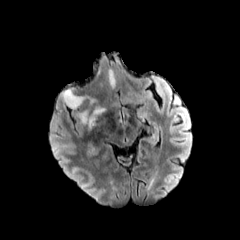
FLAIR MR.
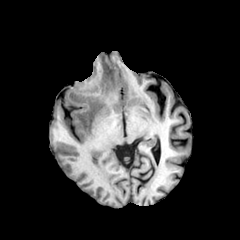
T1-weighted MRI of the same slice.
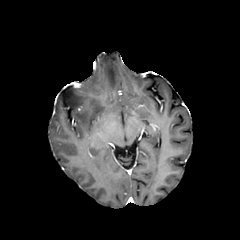
Post-contrast T1-weighted MR of the same slice.
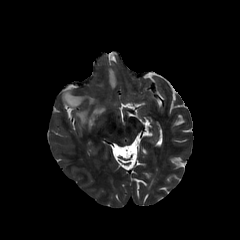
T2-weighted MR.
Axial plane
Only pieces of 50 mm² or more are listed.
peritumoral edema: 77:106:104:126, 63:89:85:108, 108:68:115:87